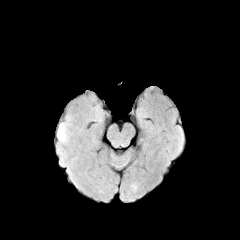
FLAIR MR.
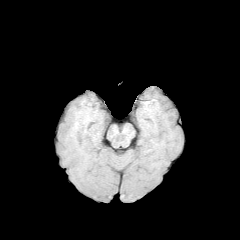
T1-weighted magnetic resonance.
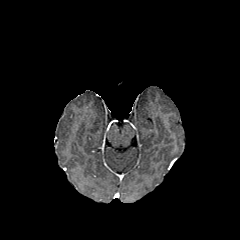
Post-contrast T1-weighted MR of the same slice.
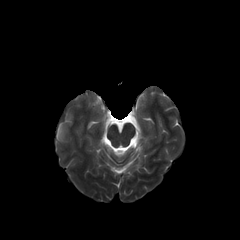
T2-weighted MRI.
Brain | Axial view
peritumoral edema: rect(57, 116, 71, 150)